Image width 240 mm, Slice index 108
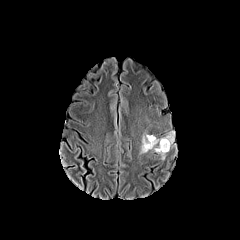
FLAIR MR.
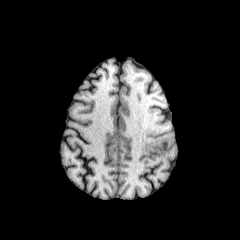
T1-weighted MR image.
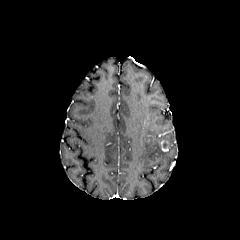
Post-contrast T1-weighted MRI.
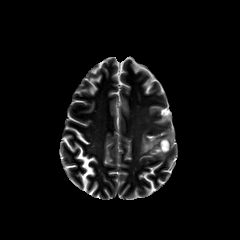
T2-weighted MR.
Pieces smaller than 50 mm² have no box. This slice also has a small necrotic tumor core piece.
The peritumoral edema is bounded by [x1=140, y1=132, x2=173, y2=159]. The enhancing tumor is bounded by [x1=160, y1=140, x2=169, y2=151].